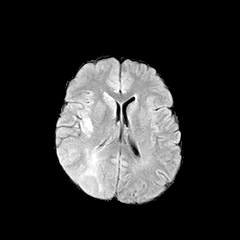
FLAIR MRI.
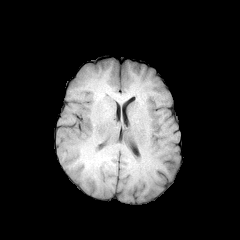
T1-weighted MR image.
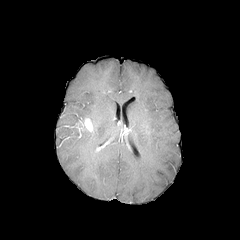
Post-contrast T1-weighted MR.
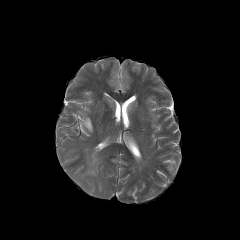
T2-weighted magnetic resonance of the same slice.
Axial slice. 240x240.
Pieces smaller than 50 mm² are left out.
enhancing tumor: box(77, 118, 92, 131) | peritumoral edema: box(81, 152, 97, 178); box(76, 112, 88, 127)